Image covers 240 mm x 240 mm.
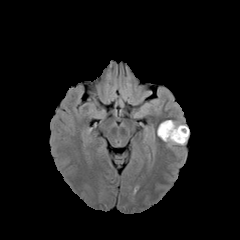
FLAIR magnetic resonance.
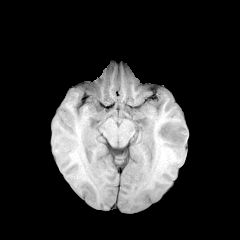
T1-weighted MRI of the same slice.
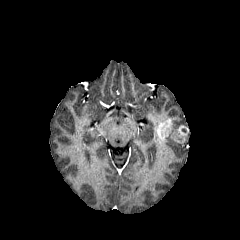
Post-contrast T1-weighted MR image.
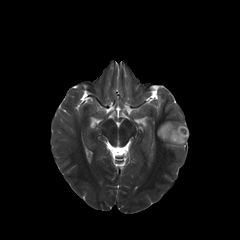
T2-weighted MR.
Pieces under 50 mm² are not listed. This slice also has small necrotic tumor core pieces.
peritumoral_edema:
  - bbox=[164, 120, 188, 146]
enhancing_tumor:
  - bbox=[157, 120, 172, 140]
  - bbox=[171, 125, 188, 143]